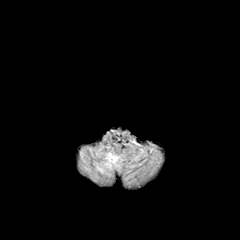
FLAIR MR.
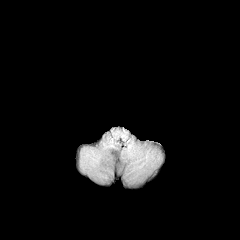
T1-weighted MR of the same slice.
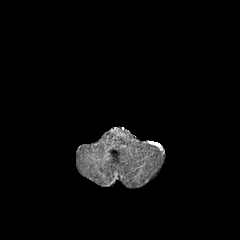
Same slice, post-contrast T1-weighted MRI.
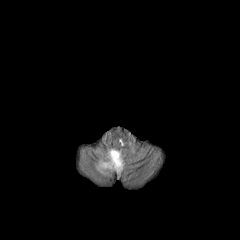
T2-weighted MR.
240x240; Axial plane; Brain
Annotated regions:
- peritumoral edema: x1=96 y1=150 x2=123 y2=173